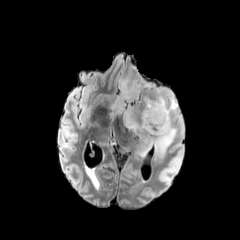
FLAIR MR image.
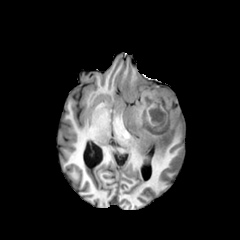
T1-weighted MR image.
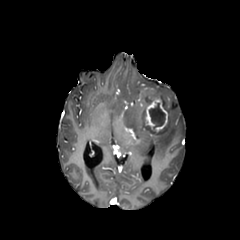
Post-contrast T1-weighted MRI.
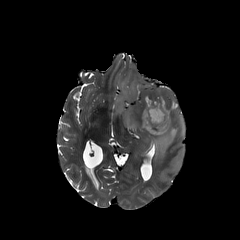
T2-weighted MR image.
Image size 240x240; Axial plane
Findings:
• necrotic tumor core: 149, 103, 165, 127
• peritumoral edema: 112, 78, 183, 157
• enhancing tumor: 145, 96, 168, 131